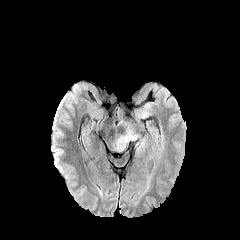
FLAIR MRI.
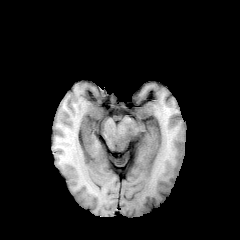
Same slice, T1-weighted magnetic resonance.
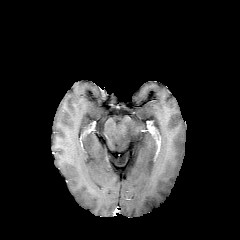
Post-contrast T1-weighted MR.
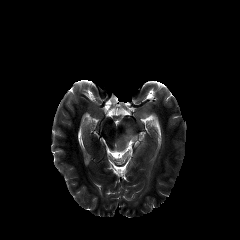
T2-weighted MRI of the same slice.
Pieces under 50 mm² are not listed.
The largest peritumoral edema region lies within box=[115, 121, 146, 153].